Image size 240x240
FLAIR magnetic resonance.
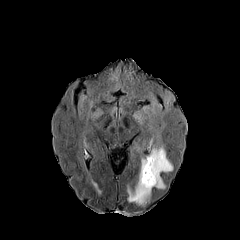
T1-weighted MR.
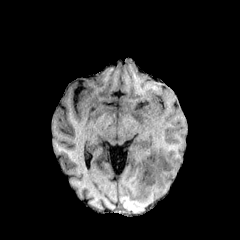
Post-contrast T1-weighted MR image.
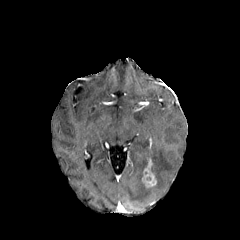
T2-weighted MR image.
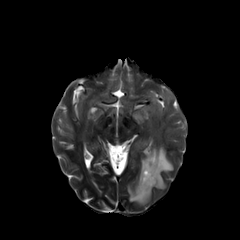
<segmentation>
  <peritumoral_edema>127, 91, 174, 204</peritumoral_edema>
  <enhancing_tumor>142, 158, 156, 187</enhancing_tumor>
</segmentation>